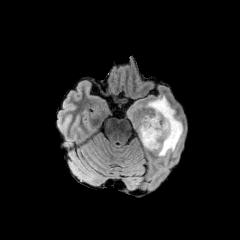
FLAIR MRI.
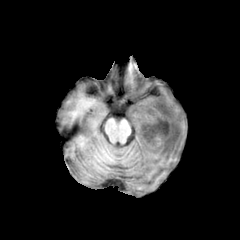
T1-weighted magnetic resonance.
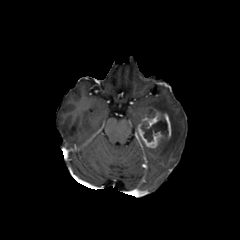
Same slice, post-contrast T1-weighted MRI.
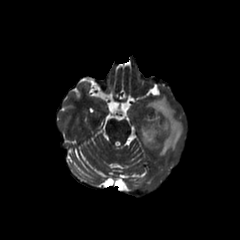
T2-weighted magnetic resonance of the same slice.
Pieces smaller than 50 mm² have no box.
<segmentation>
  <necrotic_tumor_core>{"x1": 141, "y1": 117, "x2": 168, "y2": 141}</necrotic_tumor_core>
  <peritumoral_edema>{"x1": 146, "y1": 96, "x2": 183, "y2": 156}</peritumoral_edema>
  <enhancing_tumor>{"x1": 136, "y1": 109, "x2": 171, "y2": 148}</enhancing_tumor>
</segmentation>